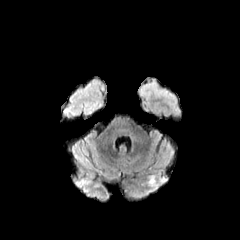
FLAIR MR image.
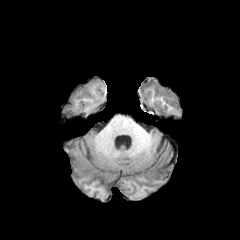
T1-weighted magnetic resonance of the same slice.
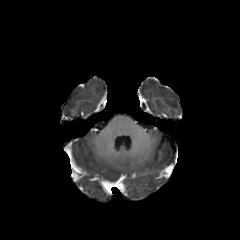
Post-contrast T1-weighted MR image.
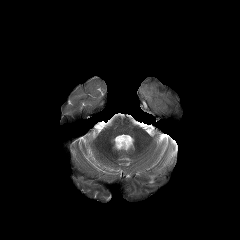
T2-weighted MRI.
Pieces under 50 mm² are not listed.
<segmentation>
  <enhancing_tumor>[x1=155, y1=168, x2=167, y2=179]</enhancing_tumor>
  <peritumoral_edema>[x1=148, y1=170, x2=166, y2=187]</peritumoral_edema>
</segmentation>